FLAIR MRI.
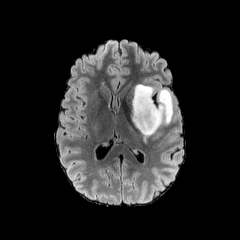
T1-weighted MRI.
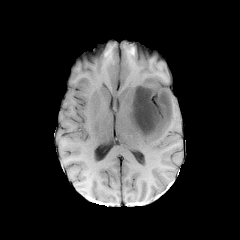
Post-contrast T1-weighted MRI.
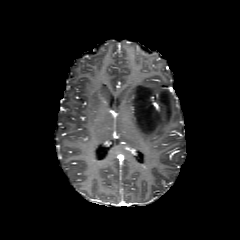
T2-weighted MR image.
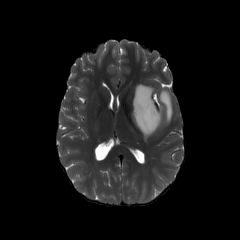
<segmentation>
  <peritumoral_edema>box=[132, 84, 172, 140]</peritumoral_edema>
</segmentation>